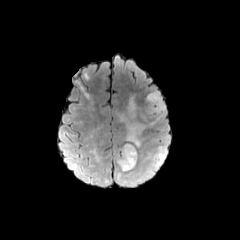
FLAIR magnetic resonance.
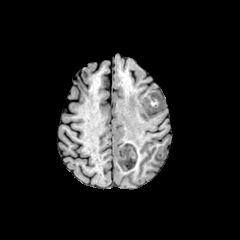
T1-weighted magnetic resonance of the same slice.
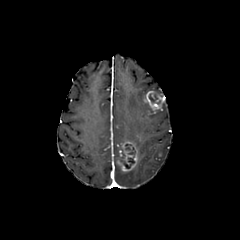
Post-contrast T1-weighted MR.
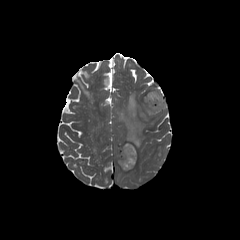
T2-weighted magnetic resonance of the same slice.
Image size 240x240
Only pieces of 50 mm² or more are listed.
necrotic tumor core: box(121, 154, 134, 168) | peritumoral edema: box(128, 96, 136, 117); box(116, 166, 144, 185); box(155, 147, 166, 165); box(126, 123, 144, 147); box(141, 91, 165, 120) | enhancing tumor: box(117, 141, 137, 171); box(143, 91, 163, 119)